FLAIR MRI.
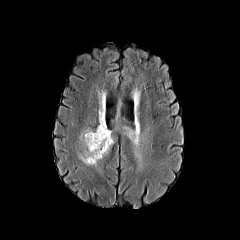
T1-weighted magnetic resonance.
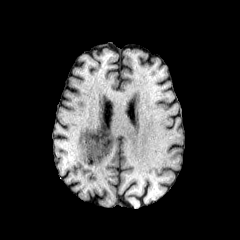
Post-contrast T1-weighted MR image.
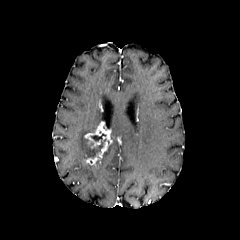
T2-weighted MR.
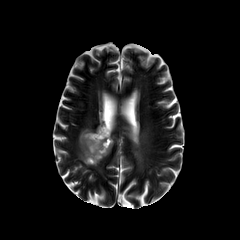
Axial slice | Head
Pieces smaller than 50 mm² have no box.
enhancing tumor: 84,122,112,164
necrotic tumor core: 91,133,106,157
peritumoral edema: 77,154,97,167; 80,128,94,158; 98,90,107,125; 118,124,139,147